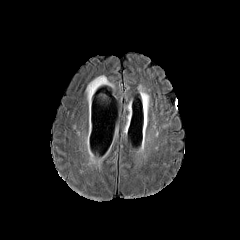
FLAIR MR image.
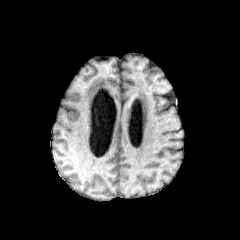
T1-weighted MR image of the same slice.
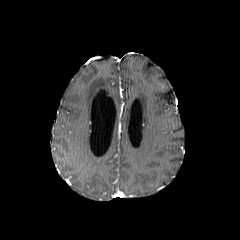
Post-contrast T1-weighted MR image.
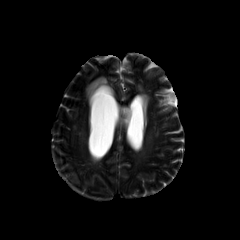
T2-weighted magnetic resonance of the same slice.
Head | 240x240
peritumoral_edema:
  - [x1=86, y1=76, x2=110, y2=100]